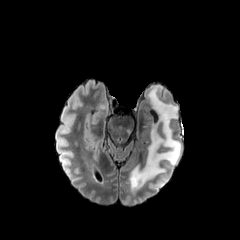
FLAIR magnetic resonance.
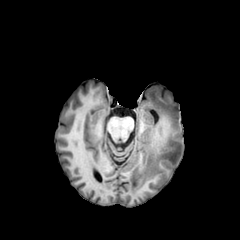
T1-weighted MR image of the same slice.
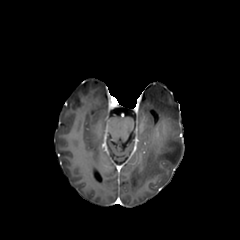
Post-contrast T1-weighted magnetic resonance of the same slice.
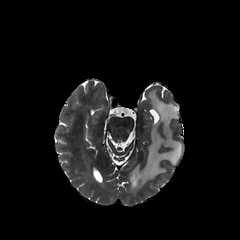
T2-weighted MRI of the same slice.
Brain | Axial view | Image size 240x240
peritumoral_edema:
  - region(130, 87, 182, 189)
enhancing_tumor:
  - region(154, 122, 169, 143)